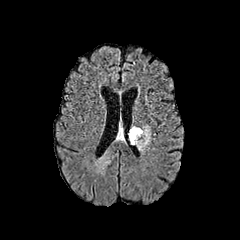
FLAIR MRI.
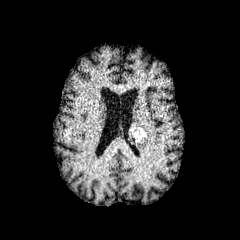
Same slice, T1-weighted MR.
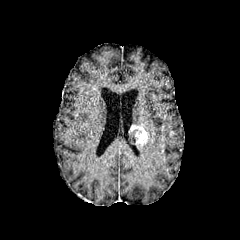
Post-contrast T1-weighted MRI of the same slice.
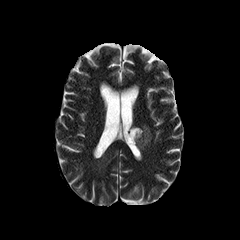
Same slice, T2-weighted magnetic resonance.
Head; Axial view
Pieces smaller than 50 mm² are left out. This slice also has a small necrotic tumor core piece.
peritumoral edema at box=[137, 125, 150, 151]; box=[99, 156, 109, 168]
enhancing tumor at box=[129, 125, 148, 146]